Slice index 86; Axial view; Head; 240x240 px
FLAIR magnetic resonance.
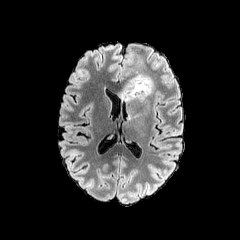
T1-weighted MRI.
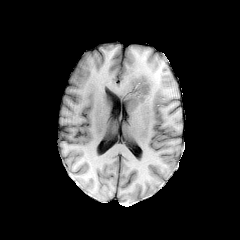
Post-contrast T1-weighted MRI.
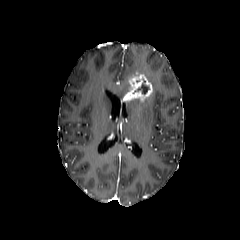
T2-weighted MRI.
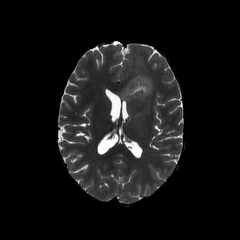
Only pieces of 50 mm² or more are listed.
The largest necrotic tumor core region is located at rect(137, 83, 149, 94). The enhancing tumor is at rect(123, 74, 152, 101). The 2 largest peritumoral edema regions appear at rect(120, 80, 129, 99); rect(125, 53, 144, 78).